FLAIR MR.
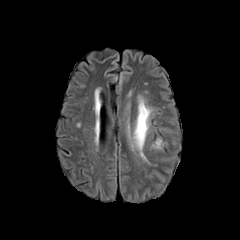
T1-weighted MRI.
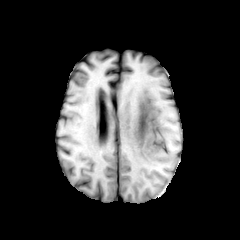
Post-contrast T1-weighted MR image.
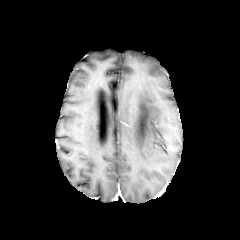
T2-weighted MR.
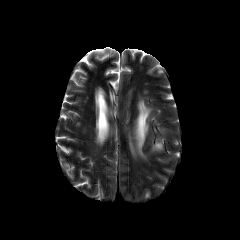
Head
2 peritumoral edema regions appear at (131,97,151,159), (153,139,161,148).